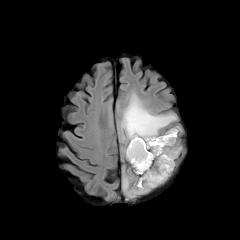
FLAIR magnetic resonance.
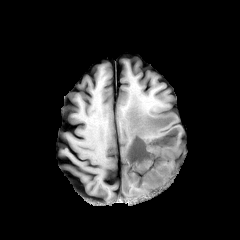
T1-weighted MRI.
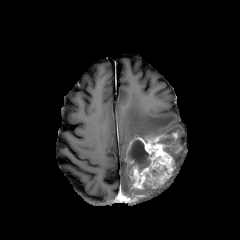
Post-contrast T1-weighted MR image.
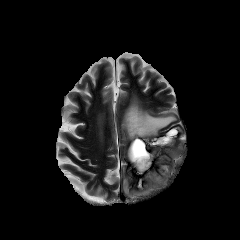
T2-weighted magnetic resonance of the same slice.
240x240 | Axial plane
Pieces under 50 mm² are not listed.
{"enhancing_tumor": ["(x1=126, y1=131, x2=177, y2=189)"], "necrotic_tumor_core": ["(x1=128, y1=140, x2=149, y2=170)", "(x1=160, y1=138, x2=173, y2=143)"], "peritumoral_edema": ["(x1=164, y1=146, x2=177, y2=158)", "(x1=123, y1=171, x2=152, y2=197)", "(x1=121, y1=95, x2=176, y2=141)", "(x1=164, y1=127, x2=180, y2=134)"]}